Slice index 42.
FLAIR MR image.
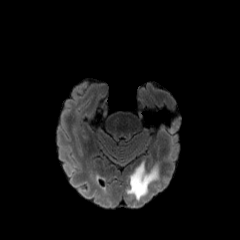
T1-weighted magnetic resonance.
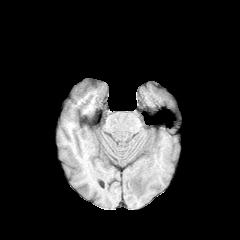
Post-contrast T1-weighted MR image.
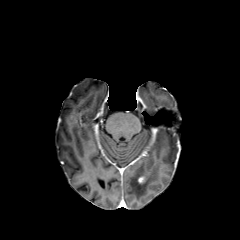
T2-weighted MR image.
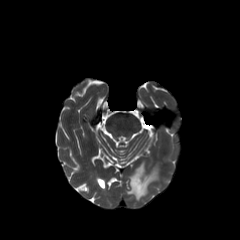
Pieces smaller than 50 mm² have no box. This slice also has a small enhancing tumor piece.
The peritumoral edema is at 127 162 158 200.